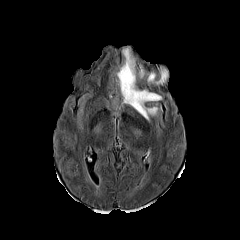
FLAIR MR image.
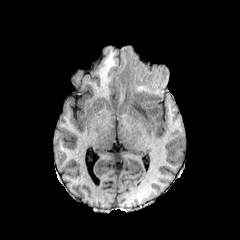
T1-weighted MR image of the same slice.
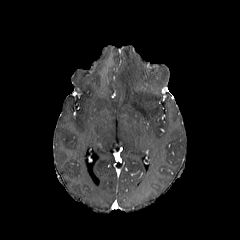
Same slice, post-contrast T1-weighted magnetic resonance.
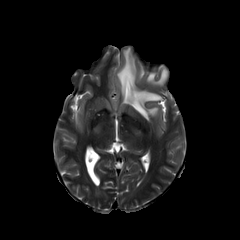
Same slice, T2-weighted MRI.
Head
3 peritumoral edema regions are located at left=138, top=66, right=144, bottom=78; left=147, top=68, right=167, bottom=85; left=116, top=48, right=161, bottom=120.